Slice 61 of 155; Image covers 240 mm x 240 mm
FLAIR MR image.
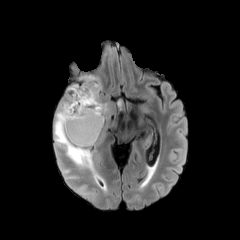
T1-weighted magnetic resonance.
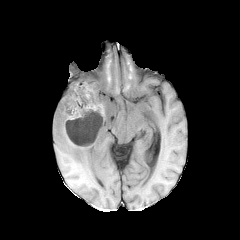
Post-contrast T1-weighted MRI.
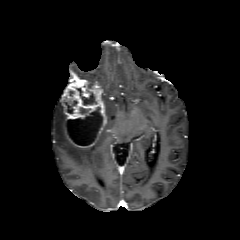
T2-weighted MR image.
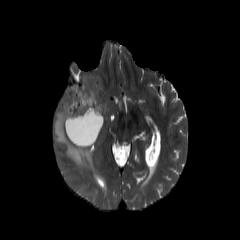
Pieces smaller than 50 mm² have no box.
peritumoral edema: bounding box 54,104,93,169; 80,76,101,86
necrotic tumor core: bounding box 76,88,96,104; 66,100,77,113; 66,107,102,145
enhancing tumor: bounding box 62,77,106,148